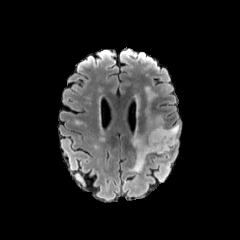
FLAIR MR.
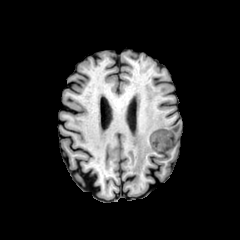
Same slice, T1-weighted MRI.
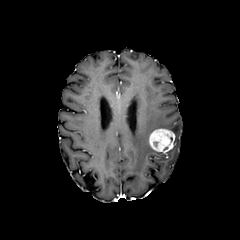
Post-contrast T1-weighted MR.
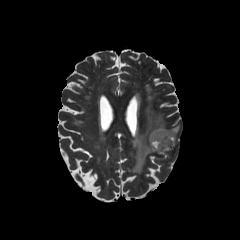
T2-weighted magnetic resonance.
Axial plane, Image size 240x240
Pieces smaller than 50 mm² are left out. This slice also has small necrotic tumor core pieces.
peritumoral edema: bbox=[168, 124, 180, 146]; bbox=[128, 85, 167, 171]
enhancing tumor: bbox=[149, 128, 175, 153]